Brain; Axial slice; Slice index 107
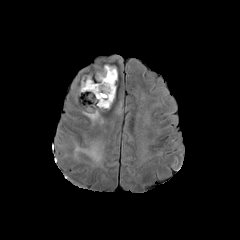
FLAIR MR.
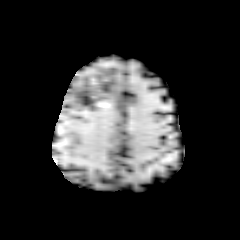
T1-weighted MRI.
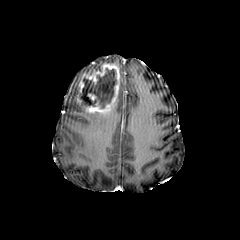
Post-contrast T1-weighted MR of the same slice.
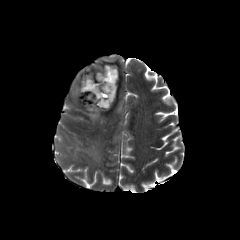
T2-weighted MRI of the same slice.
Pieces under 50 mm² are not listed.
Findings:
• enhancing tumor: x1=75, y1=64, x2=120, y2=114
• peritumoral edema: x1=83, y1=111, x2=103, y2=121; x1=74, y1=145, x2=101, y2=161
• necrotic tumor core: x1=80, y1=68, x2=116, y2=108